FLAIR magnetic resonance.
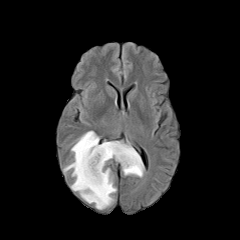
T1-weighted MR.
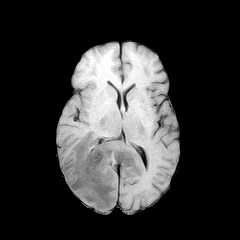
Post-contrast T1-weighted magnetic resonance.
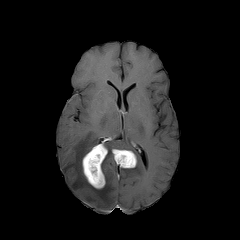
T2-weighted MRI.
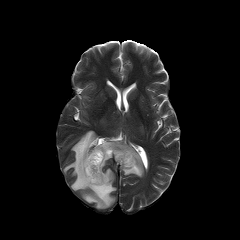
Axial plane | Head | Image size 240x240
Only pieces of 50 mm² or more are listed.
Segmented structures:
* enhancing tumor: [82,142,107,188], [112,149,136,168]
* necrotic tumor core: [87,159,98,180]
* peritumoral edema: [63,131,144,209]